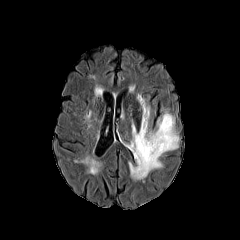
FLAIR MRI.
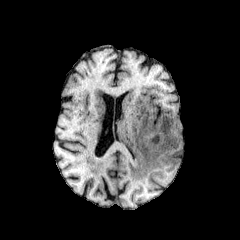
T1-weighted MR image.
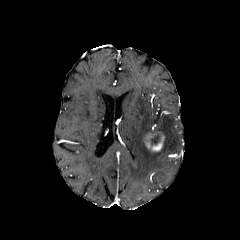
Post-contrast T1-weighted MRI of the same slice.
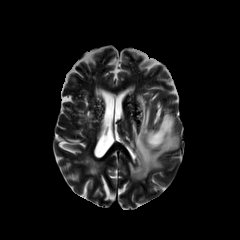
T2-weighted magnetic resonance.
Brain, Axial slice
enhancing tumor = x1=143 y1=130 x2=165 y2=151
peritumoral edema = x1=127 y1=95 x2=179 y2=179
necrotic tumor core = x1=151 y1=134 x2=159 y2=143